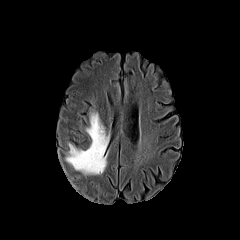
FLAIR MRI.
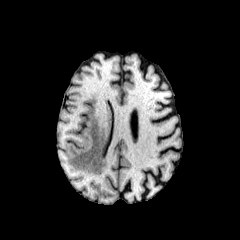
T1-weighted MR of the same slice.
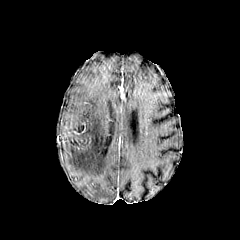
Post-contrast T1-weighted magnetic resonance.
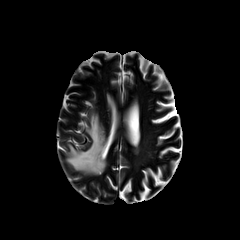
T2-weighted magnetic resonance of the same slice.
Axial slice. Head.
peritumoral_edema:
  - box=[66, 112, 108, 174]